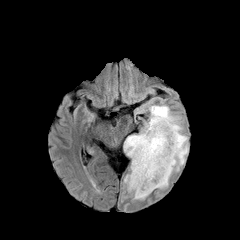
FLAIR MR image.
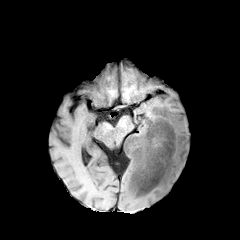
Same slice, T1-weighted MR image.
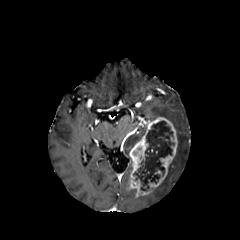
Post-contrast T1-weighted MR image.
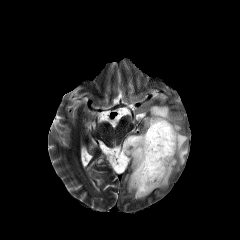
T2-weighted MR of the same slice.
240x240 px | Axial plane
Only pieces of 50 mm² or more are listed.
enhancing tumor: left=127, top=117, right=178, bottom=197 | peritumoral edema: left=149, top=105, right=188, bottom=188; left=128, top=190, right=148, bottom=199; left=124, top=123, right=145, bottom=155 | necrotic tumor core: left=134, top=121, right=173, bottom=190